FLAIR MR image.
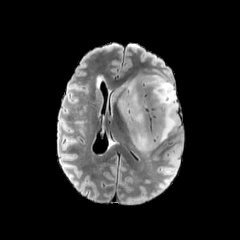
T1-weighted MRI.
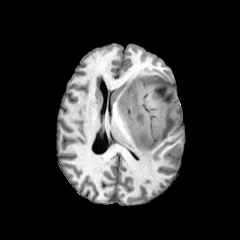
Post-contrast T1-weighted MR image.
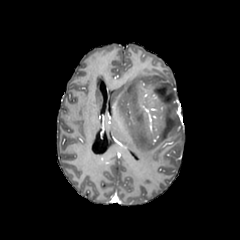
T2-weighted magnetic resonance.
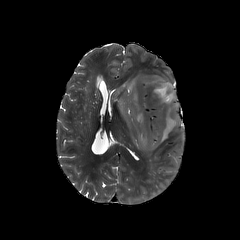
Brain.
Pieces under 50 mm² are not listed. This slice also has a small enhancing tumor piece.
{
  "peritumoral_edema": [
    "<bbox>111, 73, 179, 152</bbox>"
  ]
}